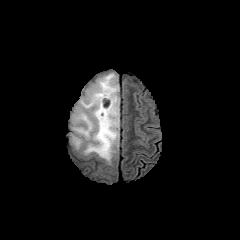
FLAIR magnetic resonance.
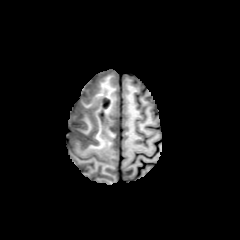
Same slice, T1-weighted MR image.
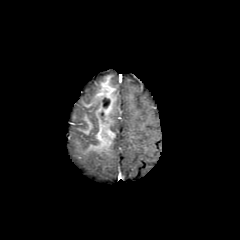
Post-contrast T1-weighted MR image.
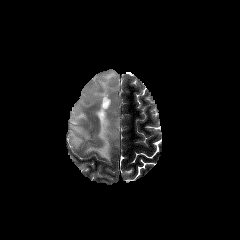
T2-weighted magnetic resonance.
2 necrotic tumor core regions are located at 102 97 110 108, 98 110 108 122. The enhancing tumor is at 96 87 115 125. The peritumoral edema is at 70 72 119 164.